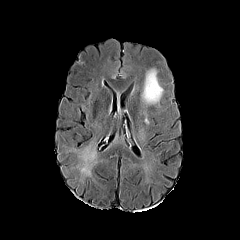
FLAIR magnetic resonance.
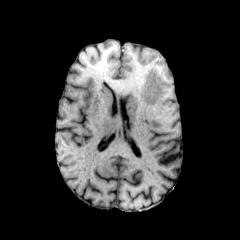
T1-weighted magnetic resonance.
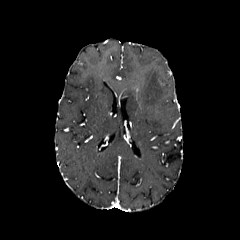
Post-contrast T1-weighted MRI of the same slice.
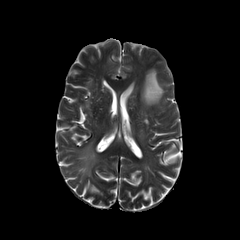
T2-weighted magnetic resonance of the same slice.
Head, Axial plane
peritumoral edema — {"x1": 141, "y1": 69, "x2": 163, "y2": 104}